Axial slice
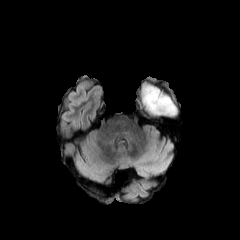
FLAIR MRI.
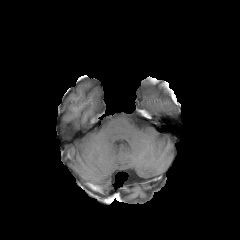
T1-weighted MR of the same slice.
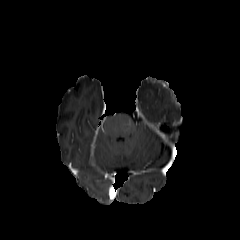
Post-contrast T1-weighted MR.
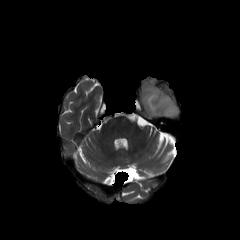
T2-weighted MRI.
peritumoral edema: (142, 85, 176, 117)